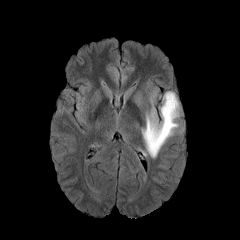
FLAIR MRI.
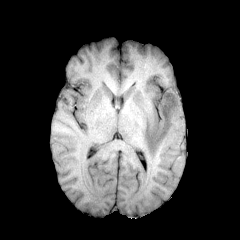
T1-weighted MR.
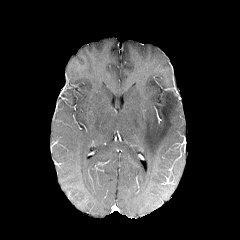
Post-contrast T1-weighted MR image of the same slice.
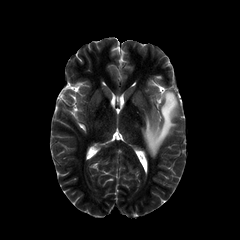
Same slice, T2-weighted MR.
Axial view | Brain
The peritumoral edema is at 141, 91, 180, 157.